FLAIR magnetic resonance.
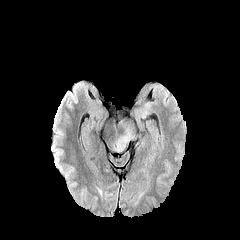
T1-weighted MR image.
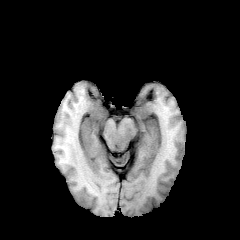
Post-contrast T1-weighted MR image.
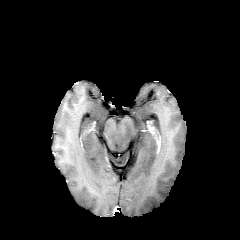
T2-weighted MRI.
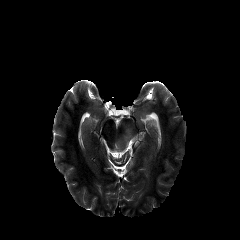
Image size 240x240, Axial slice
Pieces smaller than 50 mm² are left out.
peritumoral edema: 115:122:134:151